FLAIR magnetic resonance.
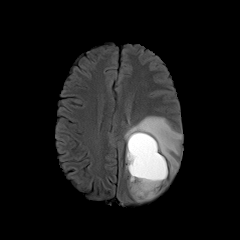
T1-weighted MR image.
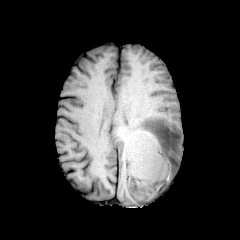
Post-contrast T1-weighted MRI.
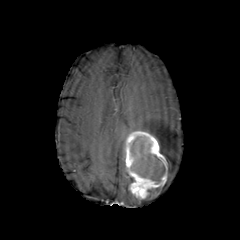
T2-weighted MRI.
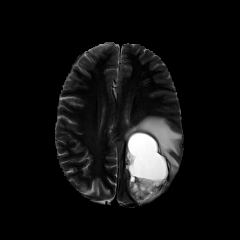
Brain | Axial view
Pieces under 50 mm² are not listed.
necrotic tumor core: bbox(130, 136, 165, 184)
peritumoral edema: bbox(124, 116, 182, 176); bbox(132, 195, 151, 202)
enhancing tumor: bbox(125, 131, 167, 199)